FLAIR MR image.
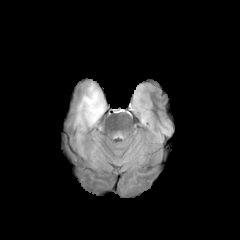
T1-weighted MRI.
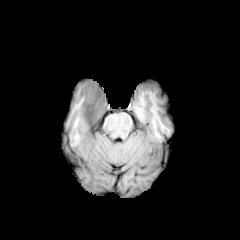
Post-contrast T1-weighted magnetic resonance.
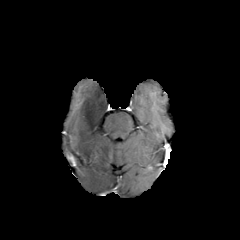
T2-weighted MR image.
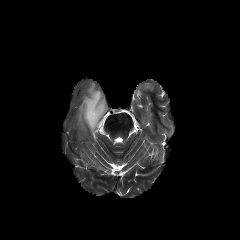
Axial view. Head. Image size 240x240.
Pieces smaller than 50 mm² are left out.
{"peritumoral_edema": ["<bbox>75, 83, 106, 138</bbox>"], "necrotic_tumor_core": ["<bbox>81, 91, 104, 133</bbox>"]}